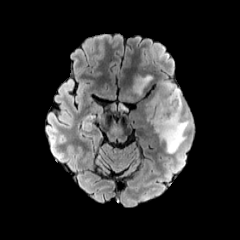
FLAIR MR image.
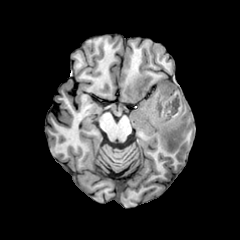
Same slice, T1-weighted MR image.
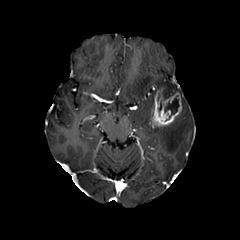
Post-contrast T1-weighted MR.
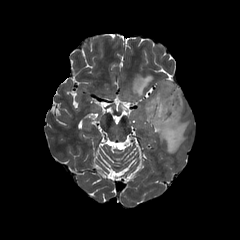
T2-weighted MRI of the same slice.
Head
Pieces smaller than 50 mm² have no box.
peritumoral edema: box=[132, 75, 152, 95]; box=[153, 112, 191, 153]; box=[146, 98, 153, 122]; box=[161, 81, 180, 97]
enhancing tumor: box=[150, 87, 182, 126]
necrotic tumor core: box=[164, 95, 179, 115]